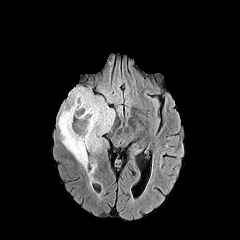
FLAIR MR image.
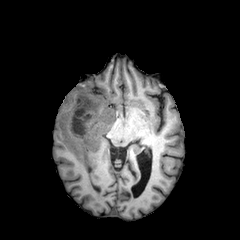
T1-weighted magnetic resonance of the same slice.
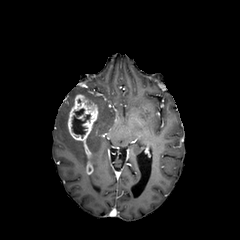
Same slice, post-contrast T1-weighted MR.
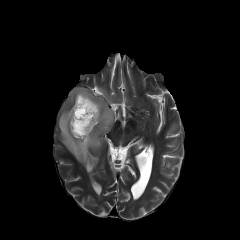
T2-weighted MR.
Head
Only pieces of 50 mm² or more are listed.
<segmentation>
  <necrotic_tumor_core>(x1=72, y1=108, x2=90, y2=137)</necrotic_tumor_core>
  <enhancing_tumor>(x1=68, y1=94, x2=98, y2=148)</enhancing_tumor>
  <peritumoral_edema>(x1=68, y1=87, x2=115, y2=152), (x1=58, y1=106, x2=87, y2=167), (x1=100, y1=89, x2=112, y2=102)</peritumoral_edema>
</segmentation>